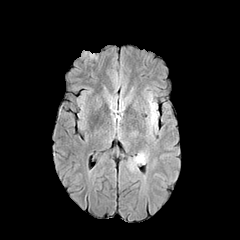
FLAIR MR image.
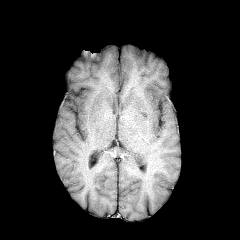
T1-weighted MRI.
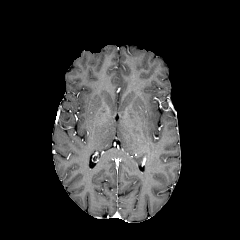
Post-contrast T1-weighted MR image of the same slice.
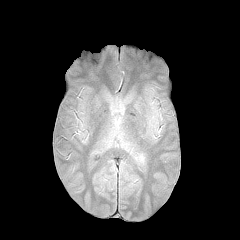
Same slice, T2-weighted magnetic resonance.
Brain
2 peritumoral edema regions are located at box(134, 153, 144, 162); box(149, 101, 156, 123).